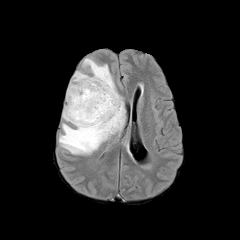
FLAIR MR.
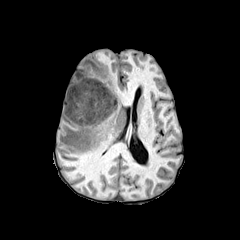
T1-weighted MR.
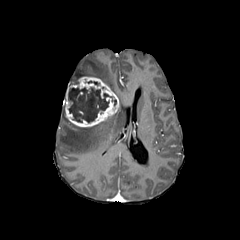
Post-contrast T1-weighted MR.
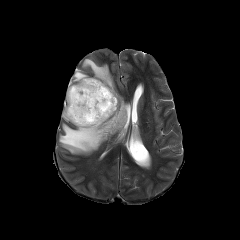
T2-weighted magnetic resonance of the same slice.
Axial slice; Head
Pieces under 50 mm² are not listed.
* enhancing tumor: box(64, 76, 119, 127)
* peritumoral edema: box(59, 58, 125, 154)
* necrotic tumor core: box(68, 87, 116, 122)